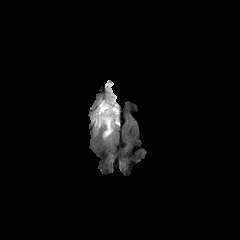
FLAIR MR.
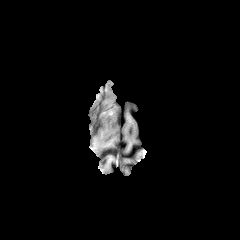
T1-weighted MR image.
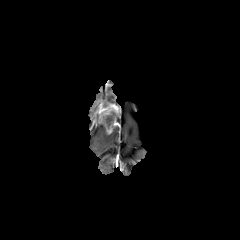
Same slice, post-contrast T1-weighted MR.
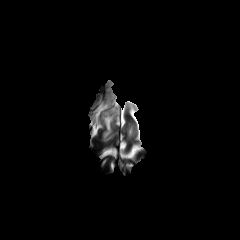
T2-weighted MR of the same slice.
Head
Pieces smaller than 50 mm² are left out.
necrotic tumor core: rect(105, 112, 115, 127) | enhancing tumor: rect(91, 83, 119, 134) | peritumoral edema: rect(102, 127, 116, 139)